FLAIR MR image.
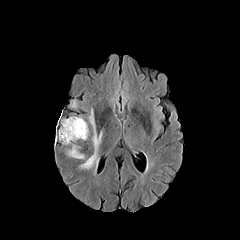
T1-weighted magnetic resonance.
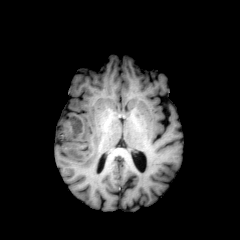
Post-contrast T1-weighted magnetic resonance.
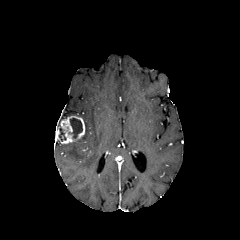
T2-weighted MR.
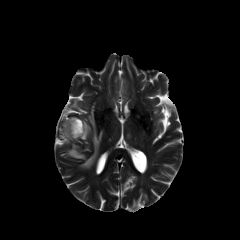
Axial plane | Image size 240x240
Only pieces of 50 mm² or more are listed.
The enhancing tumor appears at 56 116 85 143. The largest necrotic tumor core region is at 70 118 82 138. The 3 largest peritumoral edema regions are located at 80 109 102 168, 68 144 84 158, 81 121 88 139.